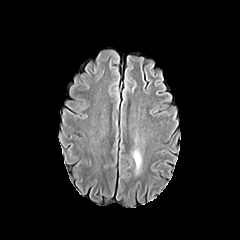
FLAIR magnetic resonance.
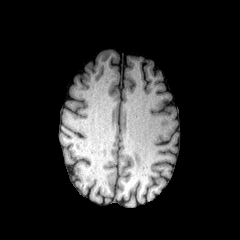
T1-weighted MRI.
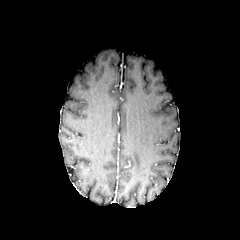
Post-contrast T1-weighted MR.
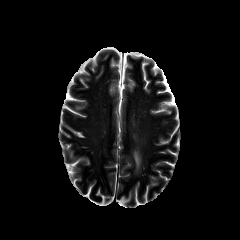
Same slice, T2-weighted MRI.
Brain
Annotated regions:
• peritumoral edema: (x1=133, y1=150, x2=141, y2=173)